Head, Slice 75 of 155, Image covers 240 mm x 240 mm, Axial slice
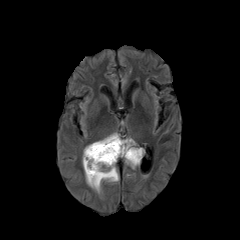
FLAIR MR.
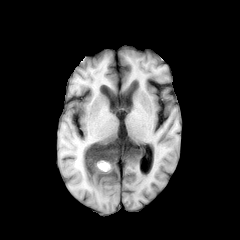
Same slice, T1-weighted MRI.
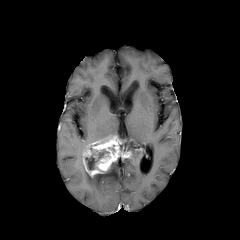
Post-contrast T1-weighted MR image of the same slice.
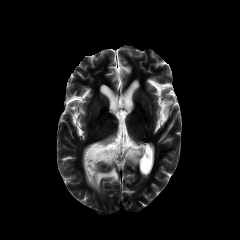
T2-weighted MRI.
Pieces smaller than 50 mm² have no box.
peritumoral edema: (left=84, top=162, right=118, bottom=193), (left=124, top=159, right=139, bottom=169) | necrotic tumor core: (left=124, top=141, right=137, bottom=153), (left=85, top=151, right=108, bottom=170) | enhancing tumor: (left=83, top=135, right=144, bottom=177)